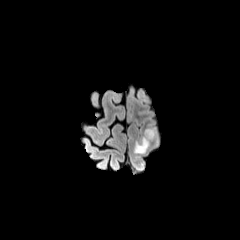
FLAIR MR image.
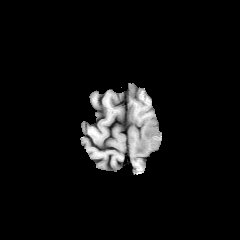
Same slice, T1-weighted MRI.
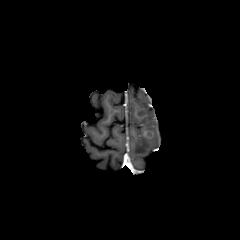
Post-contrast T1-weighted MR.
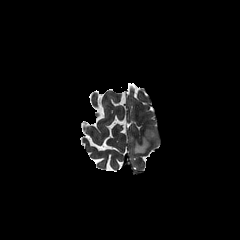
T2-weighted magnetic resonance.
Head
The peritumoral edema appears at (133,127,157,153).